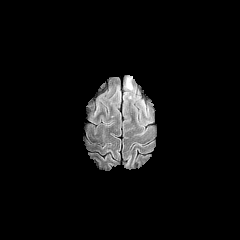
FLAIR magnetic resonance.
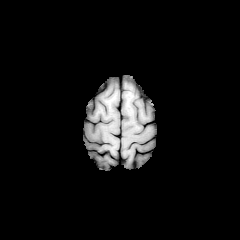
T1-weighted MR of the same slice.
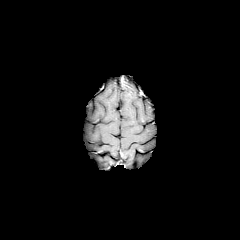
Same slice, post-contrast T1-weighted MRI.
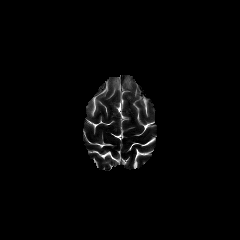
T2-weighted MR of the same slice.
Axial view. 240x240.
The peritumoral edema lies within 126 78 132 89.